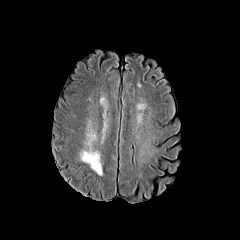
FLAIR MRI.
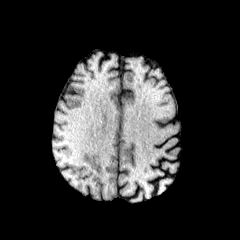
Same slice, T1-weighted MRI.
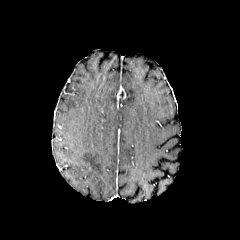
Post-contrast T1-weighted MRI of the same slice.
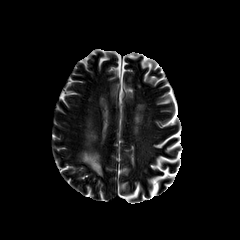
T2-weighted MRI.
Head
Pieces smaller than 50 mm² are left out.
peritumoral edema at [x1=81, y1=151, x2=102, y2=175]